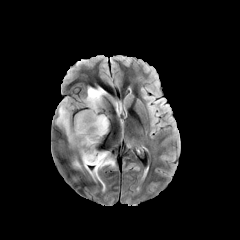
FLAIR MR image.
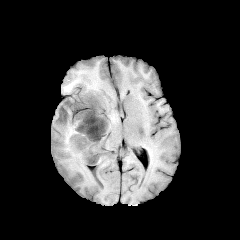
T1-weighted MR.
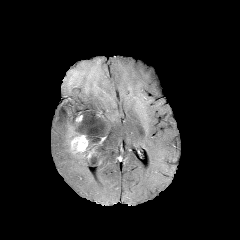
Post-contrast T1-weighted MR image.
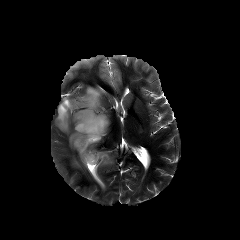
T2-weighted MR image.
240x240
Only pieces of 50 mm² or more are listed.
Segmented structures:
• peritumoral edema: bbox=[55, 86, 114, 180]
• enhancing tumor: bbox=[71, 135, 88, 152]